Slice 39/155, Axial view, 240x240, Image width 240 mm
FLAIR MR image.
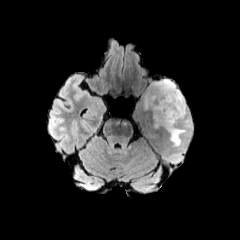
T1-weighted MRI.
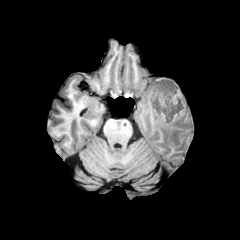
Post-contrast T1-weighted MR image.
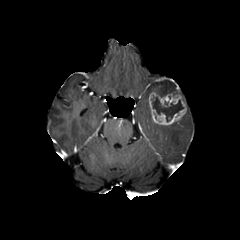
T2-weighted MR image.
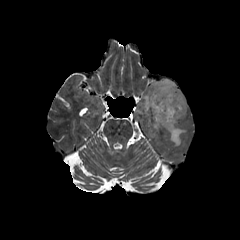
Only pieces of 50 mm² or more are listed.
necrotic_tumor_core:
  - bbox=[152, 97, 183, 121]
enhancing_tumor:
  - bbox=[148, 89, 186, 125]
peritumoral_edema:
  - bbox=[151, 79, 181, 95]
  - bbox=[145, 95, 149, 110]
  - bbox=[164, 121, 186, 146]